240x240 px; Head; Axial plane
FLAIR MRI.
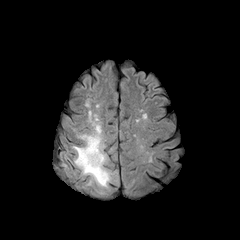
T1-weighted MR image.
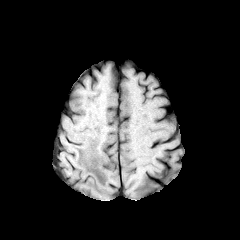
Post-contrast T1-weighted MR.
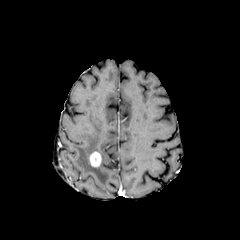
T2-weighted MRI.
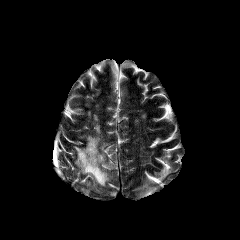
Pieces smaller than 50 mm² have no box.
peritumoral edema: bounding box x1=73 y1=118 x2=112 y2=187
enhancing tumor: bounding box x1=89 y1=151 x2=101 y2=167